Slice 105 of 155 | Brain
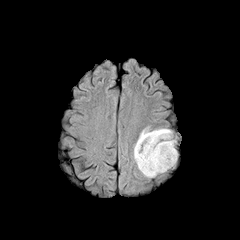
FLAIR MR.
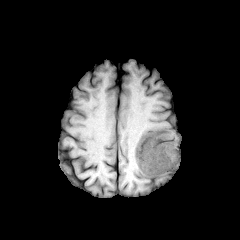
T1-weighted magnetic resonance of the same slice.
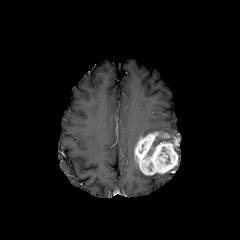
Post-contrast T1-weighted MRI.
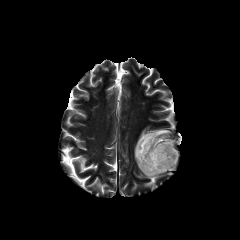
T2-weighted magnetic resonance of the same slice.
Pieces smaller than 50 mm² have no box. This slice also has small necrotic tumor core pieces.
peritumoral edema: x1=139, y1=128, x2=173, y2=146
enhancing tumor: x1=134, y1=131, x2=178, y2=175